FLAIR MRI.
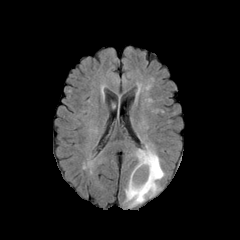
T1-weighted MR image.
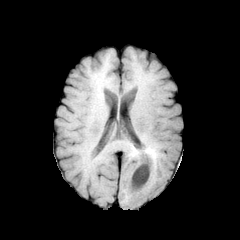
Post-contrast T1-weighted MRI.
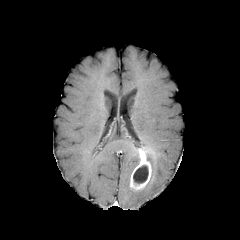
T2-weighted MR.
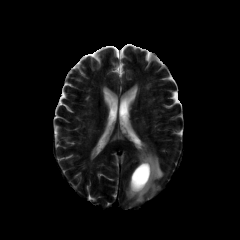
Image size 240x240
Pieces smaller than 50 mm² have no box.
The enhancing tumor is at bbox(130, 150, 152, 191). The largest peritumoral edema region lies within bbox(125, 144, 164, 207). The necrotic tumor core is located at bbox(133, 165, 148, 183).